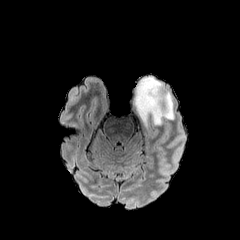
FLAIR MRI.
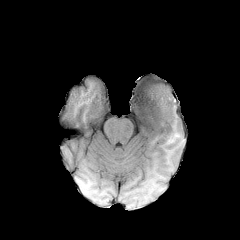
T1-weighted magnetic resonance.
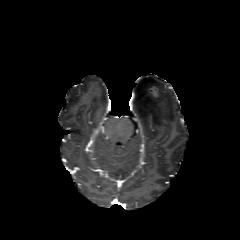
Post-contrast T1-weighted MR image of the same slice.
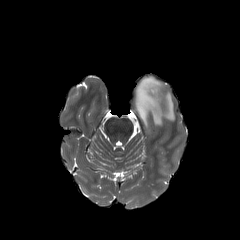
T2-weighted MR image.
peritumoral_edema:
  - x1=133, y1=76, x2=174, y2=133
enhancing_tumor:
  - x1=149, y1=86, x2=157, y2=96